Head. Axial plane.
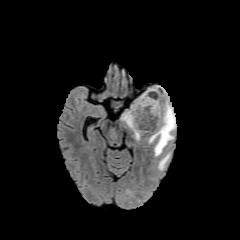
FLAIR MRI.
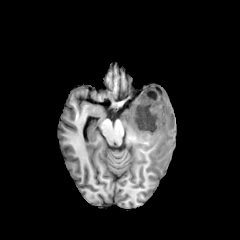
T1-weighted magnetic resonance of the same slice.
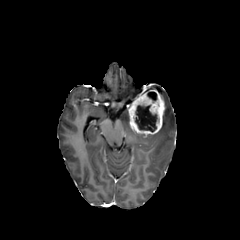
Post-contrast T1-weighted MR image.
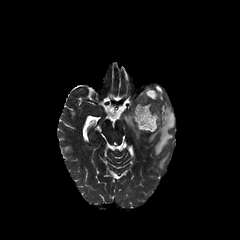
T2-weighted MR.
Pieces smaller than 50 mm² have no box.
necrotic tumor core: left=135, top=105, right=157, bottom=131; left=147, top=91, right=156, bottom=100
peritumoral edema: left=158, top=153, right=169, bottom=169; left=141, top=86, right=175, bottom=156; left=121, top=111, right=130, bottom=128
enhancing tumor: left=128, top=89, right=165, bottom=134